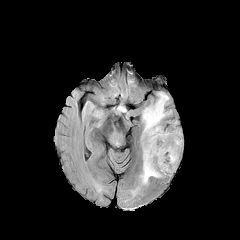
FLAIR MRI.
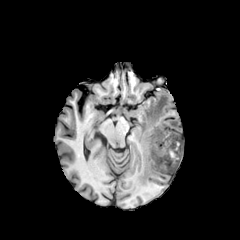
T1-weighted MR image.
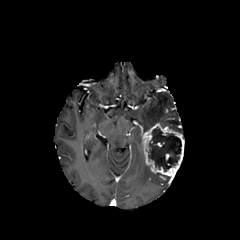
Post-contrast T1-weighted MR of the same slice.
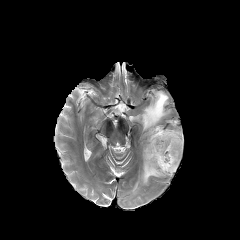
Same slice, T2-weighted MRI.
Image size 240x240 | Brain
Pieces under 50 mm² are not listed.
necrotic_tumor_core:
  - x1=148 y1=127 x2=181 y2=171
peritumoral_edema:
  - x1=169 y1=121 x2=180 y2=132
  - x1=140 y1=155 x2=160 y2=184
  - x1=142 y1=92 x2=170 y2=132
enhancing_tumor:
  - x1=142 y1=123 x2=184 y2=177